Head
FLAIR MR image.
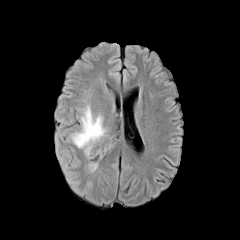
T1-weighted MR.
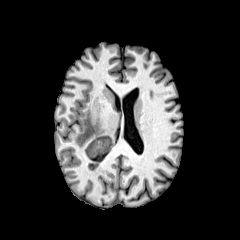
Post-contrast T1-weighted MR.
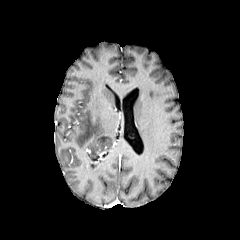
T2-weighted magnetic resonance.
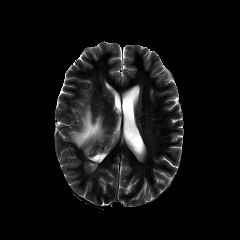
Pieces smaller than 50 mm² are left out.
peritumoral edema — 71, 105, 110, 157